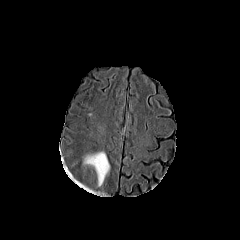
FLAIR MRI.
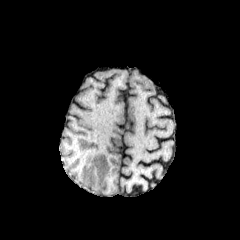
T1-weighted MR.
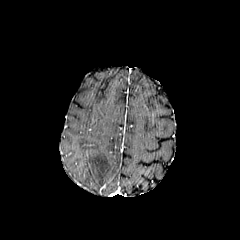
Post-contrast T1-weighted MR image.
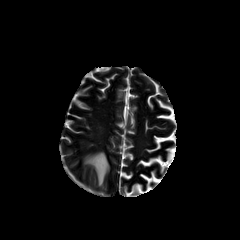
Same slice, T2-weighted magnetic resonance.
Head, Axial plane
peritumoral edema: {"x1": 83, "y1": 151, "x2": 109, "y2": 186}